Head, Image size 240x240
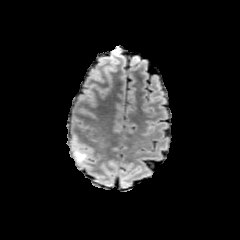
FLAIR MR image.
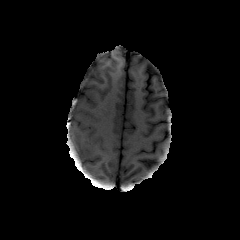
T1-weighted magnetic resonance of the same slice.
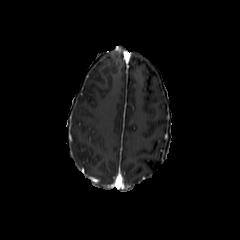
Same slice, post-contrast T1-weighted magnetic resonance.
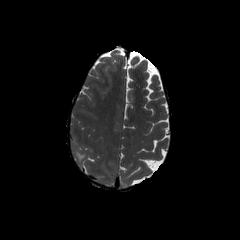
T2-weighted MRI of the same slice.
peritumoral edema: {"x1": 73, "y1": 147, "x2": 85, "y2": 162}